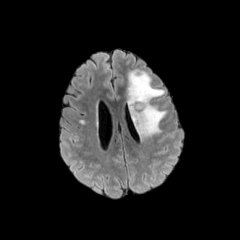
FLAIR magnetic resonance.
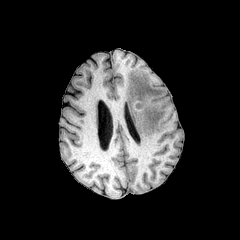
T1-weighted magnetic resonance of the same slice.
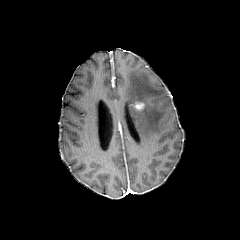
Same slice, post-contrast T1-weighted MR.
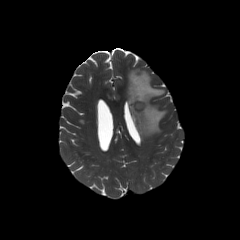
T2-weighted magnetic resonance.
Head
enhancing_tumor:
  - (x1=134, y1=102, x2=144, y2=109)
peritumoral_edema:
  - (x1=127, y1=69, x2=166, y2=139)